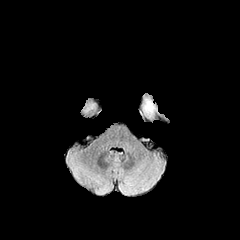
FLAIR magnetic resonance.
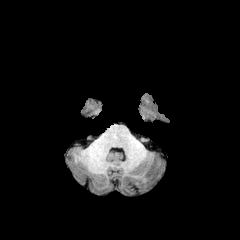
Same slice, T1-weighted magnetic resonance.
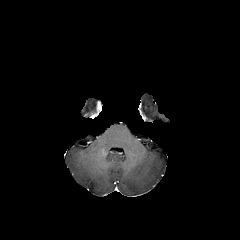
Post-contrast T1-weighted magnetic resonance of the same slice.
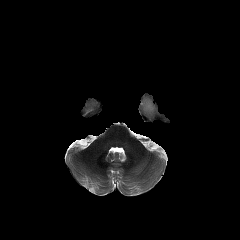
T2-weighted MR of the same slice.
Brain; Image size 240x240; Axial slice
{"peritumoral_edema": ["box=[144, 100, 154, 114]"]}